FLAIR magnetic resonance.
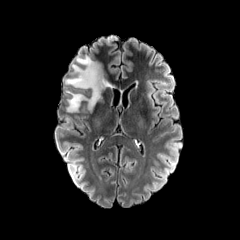
T1-weighted MR.
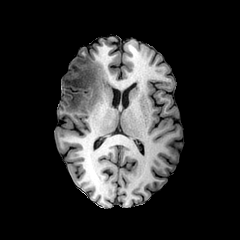
Post-contrast T1-weighted MRI.
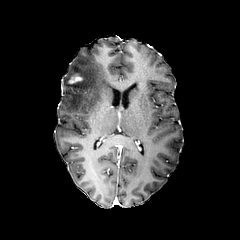
T2-weighted MR.
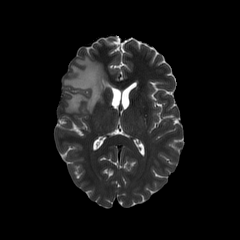
Axial plane; 240x240 px; Brain
<segmentation>
  <enhancing_tumor>(68,74,82,83)</enhancing_tumor>
  <peritumoral_edema>(63,55,107,112)</peritumoral_edema>
</segmentation>